240x240 px; Slice index 75
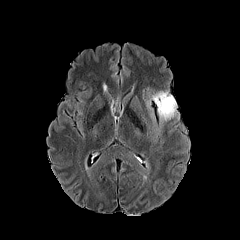
FLAIR MR.
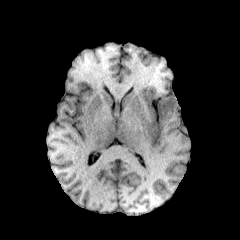
Same slice, T1-weighted MR.
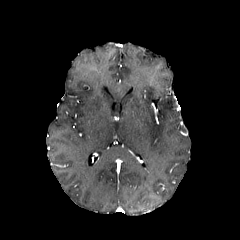
Post-contrast T1-weighted MRI.
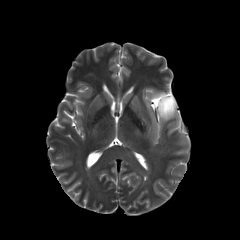
T2-weighted magnetic resonance of the same slice.
{
  "peritumoral_edema": [
    "x1=153 y1=92 x2=177 y2=120"
  ]
}